240x240 px, Brain, Axial view
FLAIR magnetic resonance.
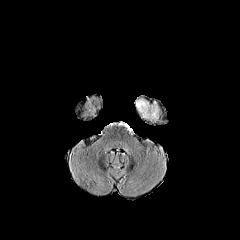
T1-weighted MR.
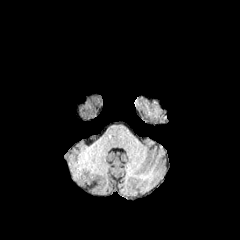
Post-contrast T1-weighted MR image.
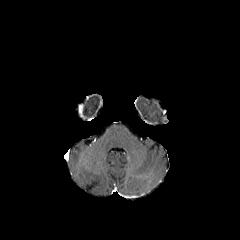
T2-weighted MR image.
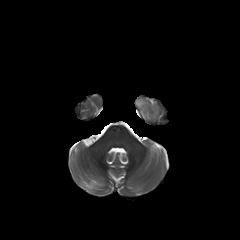
The peritumoral edema is bounded by {"x1": 136, "y1": 97, "x2": 162, "y2": 122}.